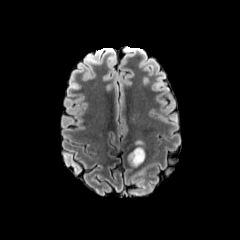
FLAIR MR.
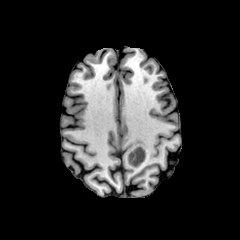
T1-weighted MR image.
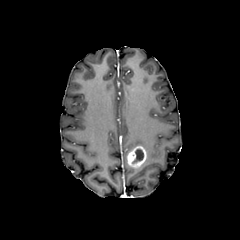
Same slice, post-contrast T1-weighted MR image.
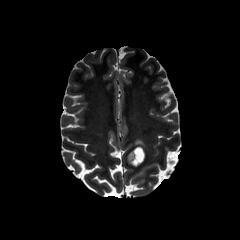
Same slice, T2-weighted MR image.
240x240 px, Axial view
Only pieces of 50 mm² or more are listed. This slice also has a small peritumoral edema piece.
enhancing tumor: bounding box {"x1": 127, "y1": 146, "x2": 146, "y2": 168}
necrotic tumor core: bounding box {"x1": 135, "y1": 149, "x2": 143, "y2": 161}